FLAIR MR.
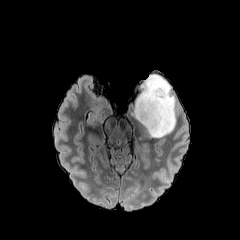
T1-weighted MRI.
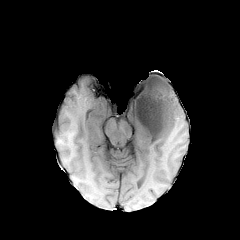
Post-contrast T1-weighted MRI.
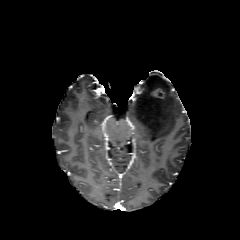
T2-weighted MR.
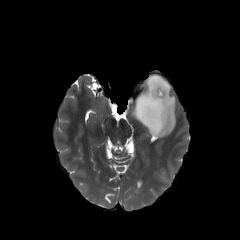
240x240, Axial view, Head
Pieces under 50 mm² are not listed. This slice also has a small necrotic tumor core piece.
The peritumoral edema is at region(127, 74, 176, 138). The enhancing tumor is bounded by region(151, 89, 164, 98).